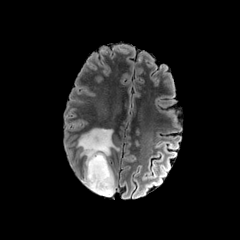
FLAIR MR image.
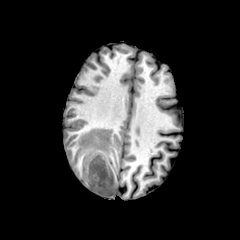
T1-weighted MRI of the same slice.
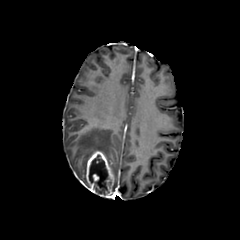
Post-contrast T1-weighted MR image.
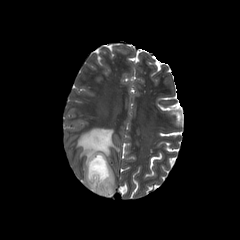
T2-weighted MRI.
240x240
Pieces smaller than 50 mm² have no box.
peritumoral edema at bbox=[77, 128, 118, 183]
enhancing tumor at bbox=[84, 151, 115, 197]
necrotic tumor core at bbox=[89, 155, 108, 195]